FLAIR magnetic resonance.
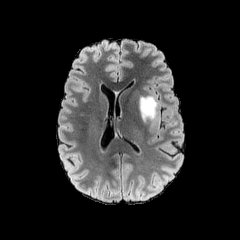
T1-weighted MR image.
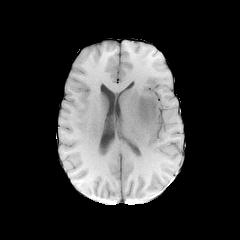
Post-contrast T1-weighted MR.
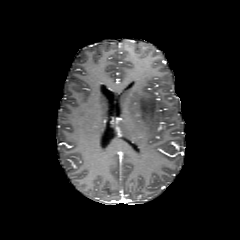
T2-weighted magnetic resonance.
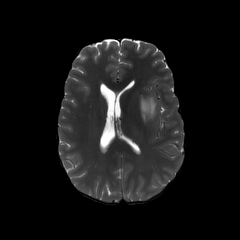
240x240; Axial plane
peritumoral edema: [139, 95, 157, 122]